Slice index 40 | Axial view | Image width 240 mm, 1.00 mm slice spacing
FLAIR magnetic resonance.
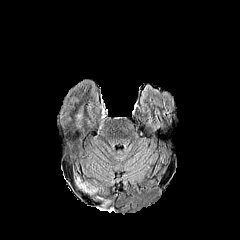
T1-weighted MRI.
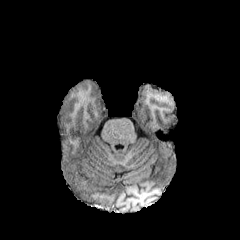
Post-contrast T1-weighted MRI.
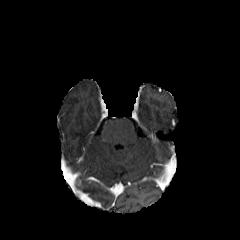
T2-weighted MR.
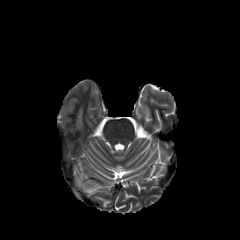
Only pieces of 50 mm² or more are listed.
enhancing tumor: <box>75,177,82,186</box>
peritumoral edema: <box>79,183,95,192</box>